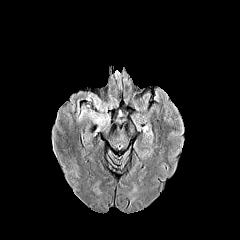
FLAIR MRI.
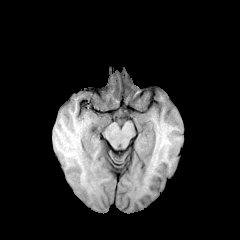
T1-weighted MR image.
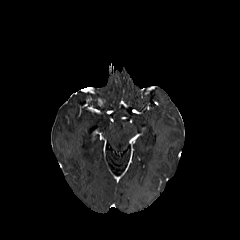
Post-contrast T1-weighted MR image.
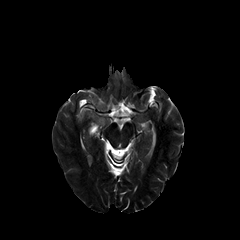
Same slice, T2-weighted MR.
Axial plane. Brain.
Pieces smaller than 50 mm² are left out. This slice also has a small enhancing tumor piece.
The largest peritumoral edema region is bounded by 80, 110, 107, 126.